FLAIR magnetic resonance.
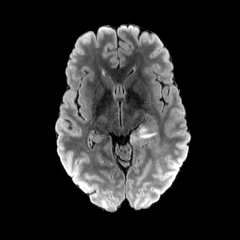
T1-weighted MR.
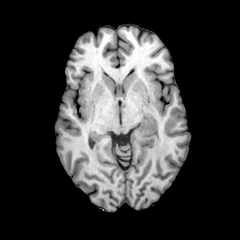
Post-contrast T1-weighted MRI.
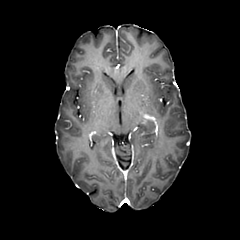
T2-weighted MR.
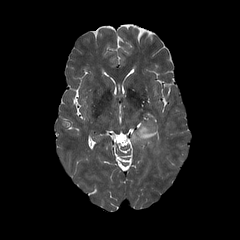
240x240
peritumoral edema: x1=131 y1=120 x2=156 y2=143